FLAIR MR image.
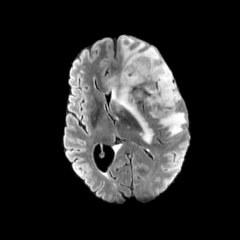
T1-weighted MRI.
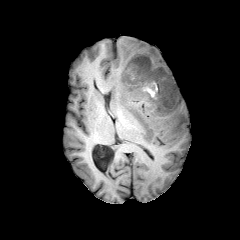
Post-contrast T1-weighted MR.
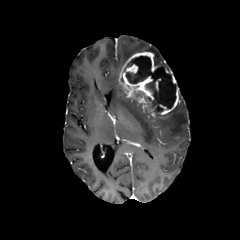
T2-weighted MR image.
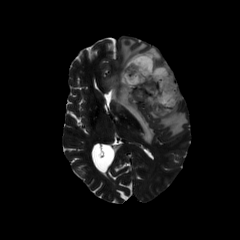
Axial view | 240x240 | Brain
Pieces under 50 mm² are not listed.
<segmentation>
  <necrotic_tumor_core>bbox=[126, 56, 175, 113]</necrotic_tumor_core>
  <enhancing_tumor>bbox=[118, 51, 179, 116]</enhancing_tumor>
  <peritumoral_edema>bbox=[152, 104, 187, 136]; bbox=[120, 36, 164, 69]; bbox=[104, 73, 154, 143]</peritumoral_edema>
</segmentation>